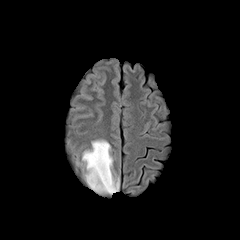
FLAIR MR image.
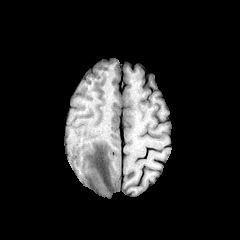
T1-weighted MR.
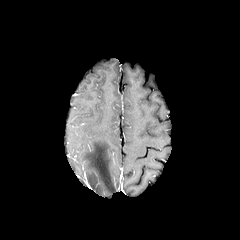
Post-contrast T1-weighted MRI.
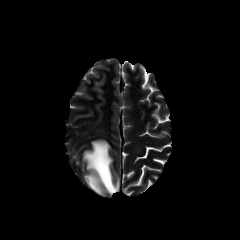
T2-weighted magnetic resonance of the same slice.
Axial slice
peritumoral edema: l=82, t=139, r=119, b=194